FLAIR MR image.
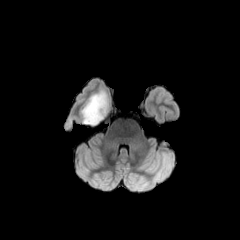
T1-weighted MR image.
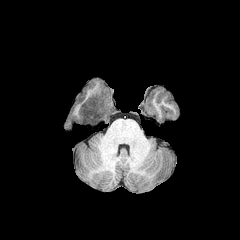
Post-contrast T1-weighted MR.
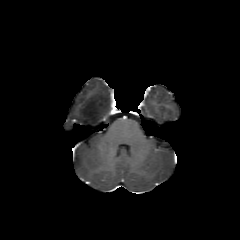
T2-weighted MRI.
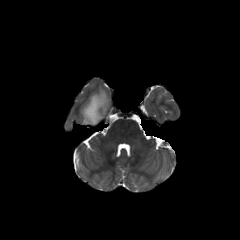
240x240 | Head
peritumoral_edema:
  - [81,90,110,125]